Slice 115 of 155
FLAIR magnetic resonance.
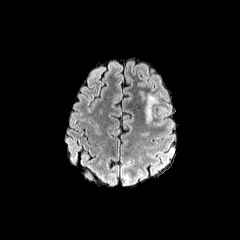
T1-weighted magnetic resonance.
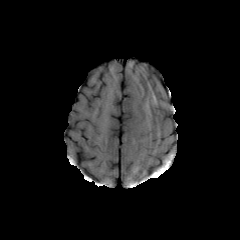
Post-contrast T1-weighted MR image.
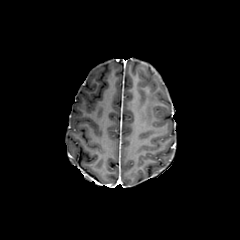
T2-weighted MRI.
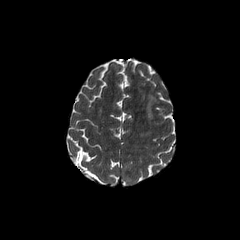
peritumoral_edema:
  - (146, 95, 157, 123)